FLAIR MR image.
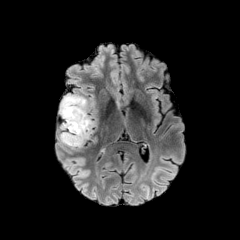
T1-weighted magnetic resonance.
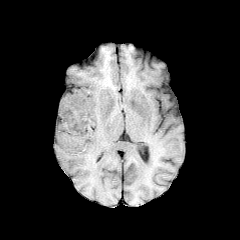
Post-contrast T1-weighted MR image.
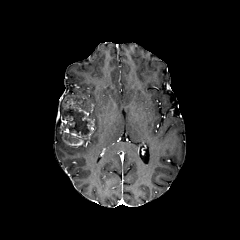
T2-weighted MR image.
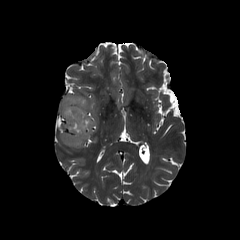
Axial plane. Head.
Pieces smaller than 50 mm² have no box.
enhancing tumor: [60,96,95,146]
peritumoral edema: [60,94,81,113]
necrotic tumor core: [68,135,78,142], [63,108,89,135]